Image width 240 mm, 1.00 mm slice spacing | 240x240 px
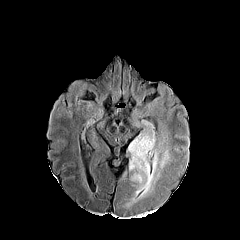
FLAIR MRI.
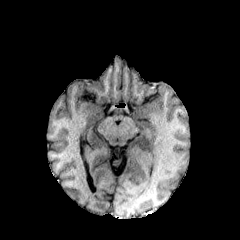
T1-weighted MRI.
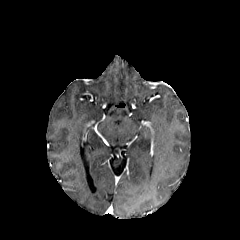
Same slice, post-contrast T1-weighted MR image.
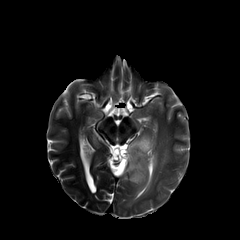
T2-weighted magnetic resonance.
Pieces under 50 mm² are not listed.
{
  "peritumoral_edema": [
    "box=[128, 134, 168, 198]"
  ]
}